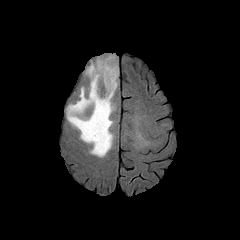
FLAIR MR.
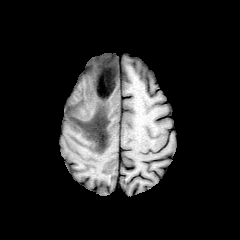
T1-weighted magnetic resonance.
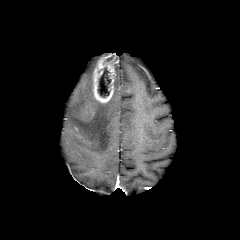
Post-contrast T1-weighted magnetic resonance.
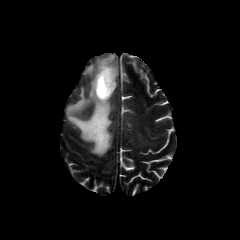
T2-weighted MR.
Axial plane | Brain
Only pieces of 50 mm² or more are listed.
The peritumoral edema lies within (x1=66, y1=57, x2=118, y2=156). The largest necrotic tumor core region appears at (x1=97, y1=68, x2=110, y2=97). The enhancing tumor lies within (x1=92, y1=53, x2=118, y2=103).